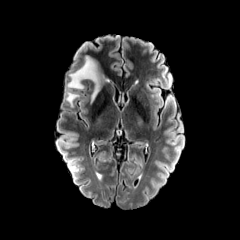
FLAIR MR image.
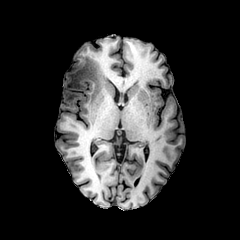
Same slice, T1-weighted MR.
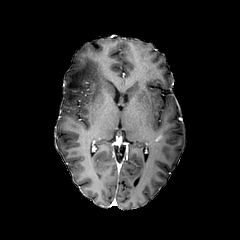
Post-contrast T1-weighted MR image.
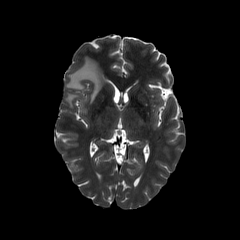
T2-weighted magnetic resonance.
Axial view; 240x240 px; Brain
Segmented structures:
• peritumoral edema: region(66, 56, 102, 102); region(66, 92, 78, 106)